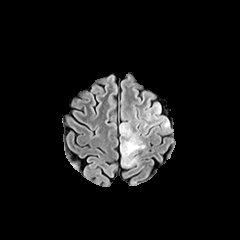
FLAIR magnetic resonance.
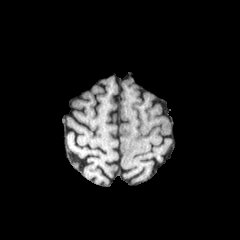
T1-weighted MRI of the same slice.
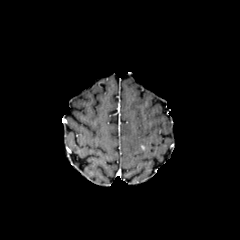
Post-contrast T1-weighted MR of the same slice.
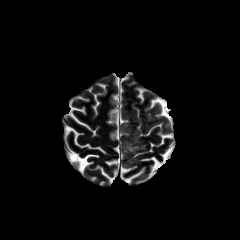
T2-weighted magnetic resonance of the same slice.
Head
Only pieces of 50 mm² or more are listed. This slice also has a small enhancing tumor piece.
peritumoral_edema:
  - (120, 123, 141, 165)